FLAIR MRI.
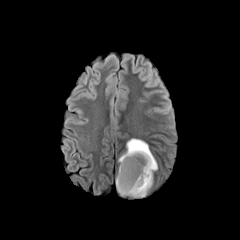
T1-weighted MR.
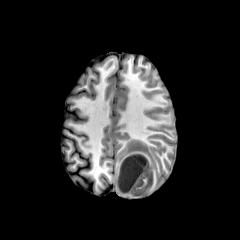
Post-contrast T1-weighted magnetic resonance.
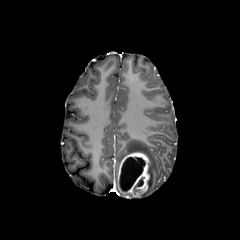
T2-weighted MRI.
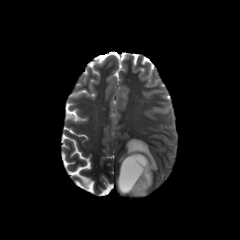
Axial slice
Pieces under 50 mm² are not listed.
peritumoral_edema:
  - rect(119, 139, 157, 188)
necrotic_tumor_core:
  - rect(119, 157, 145, 191)
  - rect(134, 177, 144, 194)
enhancing_tumor:
  - rect(117, 152, 149, 196)